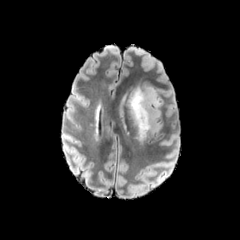
FLAIR magnetic resonance.
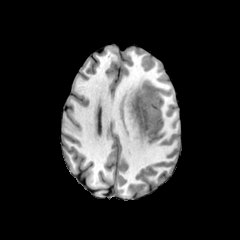
T1-weighted magnetic resonance.
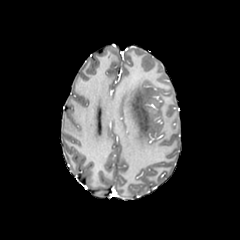
Same slice, post-contrast T1-weighted MRI.
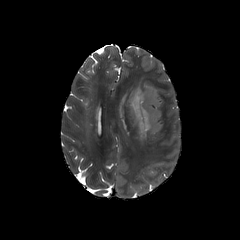
T2-weighted magnetic resonance.
Brain.
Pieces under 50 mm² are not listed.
Segmented structures:
• peritumoral edema: (127,78,162,143)